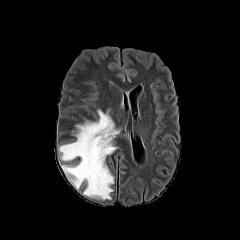
FLAIR magnetic resonance.
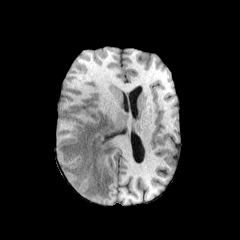
T1-weighted MR image.
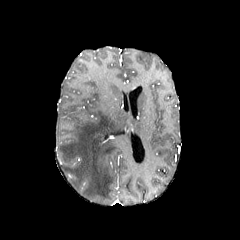
Post-contrast T1-weighted MR.
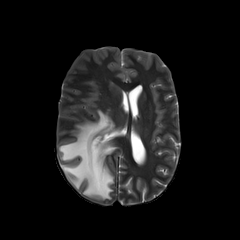
T2-weighted magnetic resonance.
Brain; Axial plane
peritumoral edema — left=59, top=109, right=119, bottom=199